FLAIR magnetic resonance.
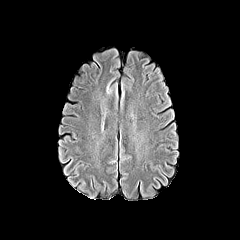
T1-weighted magnetic resonance.
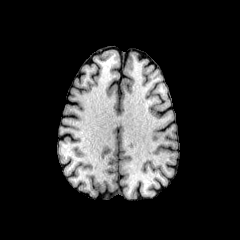
Post-contrast T1-weighted MR.
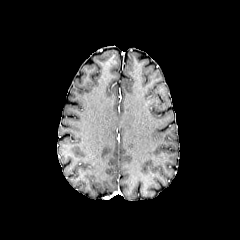
T2-weighted MRI.
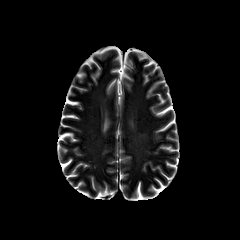
Head
peritumoral edema: l=105, t=76, r=117, b=95